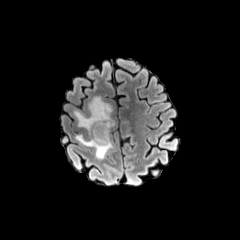
FLAIR MR image.
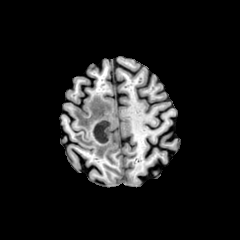
T1-weighted MR image of the same slice.
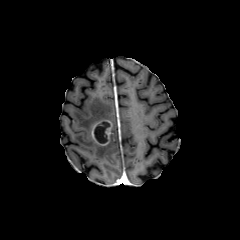
Post-contrast T1-weighted MR image of the same slice.
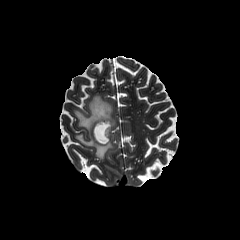
T2-weighted MRI.
Brain. Image size 240x240.
enhancing tumor = rect(91, 119, 112, 145)
peritumoral edema = rect(73, 96, 115, 159)
necrotic tumor core = rect(94, 121, 110, 143)